240x240 px. Brain.
FLAIR MR.
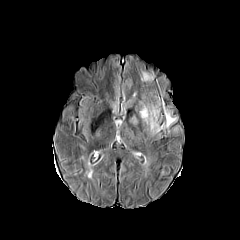
T1-weighted MR.
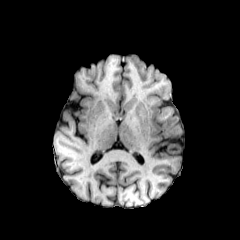
Post-contrast T1-weighted MR image.
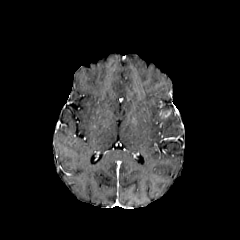
T2-weighted MR.
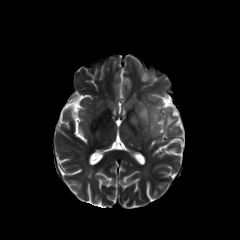
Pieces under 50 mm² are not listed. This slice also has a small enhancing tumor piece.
peritumoral edema = bbox=[140, 106, 159, 133]; bbox=[143, 71, 151, 81]; bbox=[161, 114, 176, 128]